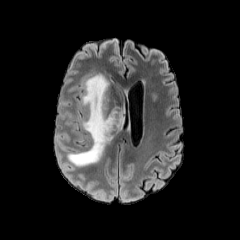
FLAIR MR image.
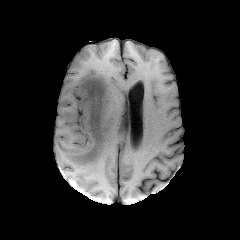
T1-weighted MR image.
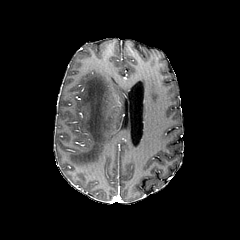
Post-contrast T1-weighted magnetic resonance of the same slice.
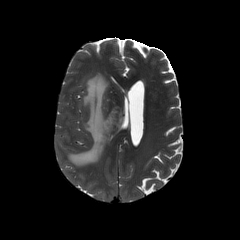
T2-weighted magnetic resonance of the same slice.
peritumoral edema = <box>67,73,124,166</box>